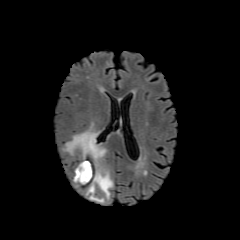
FLAIR magnetic resonance.
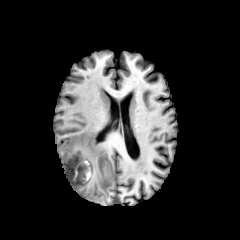
Same slice, T1-weighted magnetic resonance.
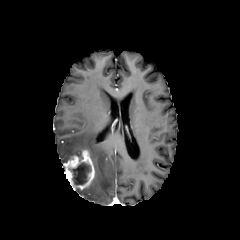
Post-contrast T1-weighted MRI.
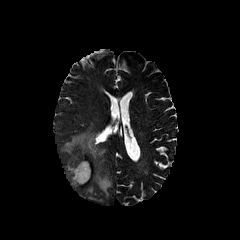
T2-weighted MR image.
Axial slice, Image size 240x240, Brain
peritumoral edema — box(62, 123, 113, 202)
necrotic tumor core — box(71, 162, 91, 185)
enhancing tumor — box(63, 149, 94, 190)